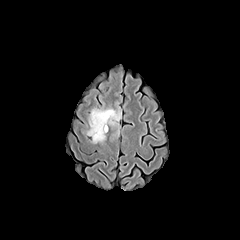
FLAIR MR image.
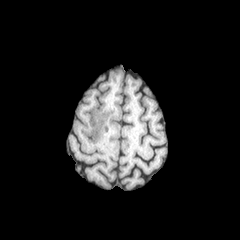
T1-weighted MR image.
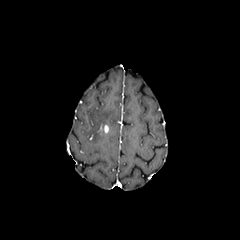
Same slice, post-contrast T1-weighted MR image.
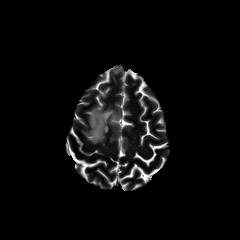
T2-weighted MRI.
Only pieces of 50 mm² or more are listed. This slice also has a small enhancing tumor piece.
peritumoral edema at l=87, t=108, r=120, b=143